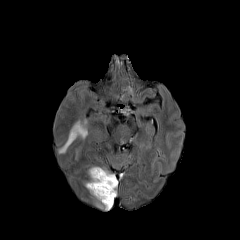
FLAIR magnetic resonance.
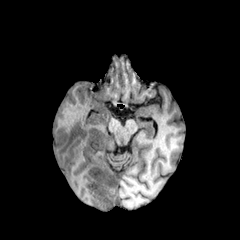
T1-weighted MR image.
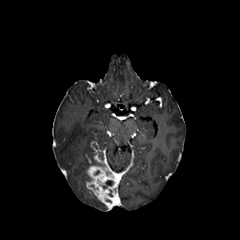
Post-contrast T1-weighted magnetic resonance of the same slice.
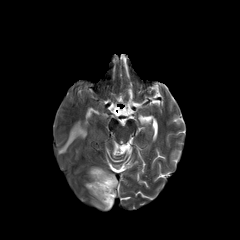
Same slice, T2-weighted MR image.
Axial view; Head
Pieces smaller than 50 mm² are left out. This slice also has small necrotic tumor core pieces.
peritumoral edema: bounding box bbox(58, 120, 87, 153)
enhancing tumor: bounding box bbox(86, 165, 118, 210)